Axial plane | Image covers 240 mm x 240 mm | Head | Slice 60 of 155 | 240x240 px
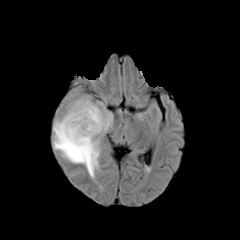
FLAIR magnetic resonance.
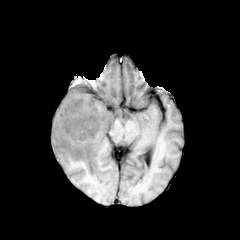
T1-weighted MRI.
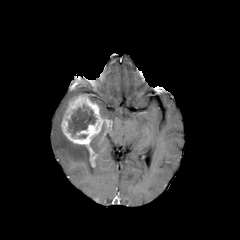
Post-contrast T1-weighted magnetic resonance.
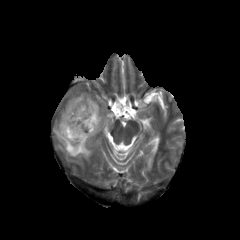
T2-weighted MR image.
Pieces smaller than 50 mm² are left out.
* enhancing tumor: 61, 95, 111, 166
* peritumoral edema: 100, 108, 113, 124; 53, 113, 100, 177
* necrotic tumor core: 68, 105, 96, 136